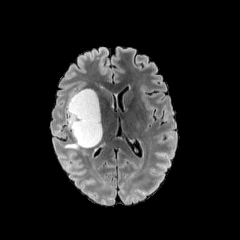
FLAIR MR.
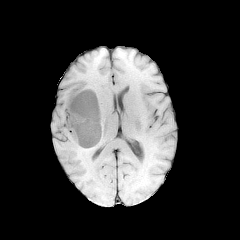
T1-weighted MRI.
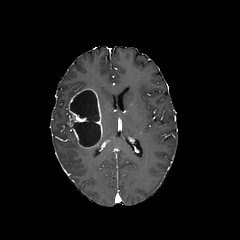
Post-contrast T1-weighted magnetic resonance.
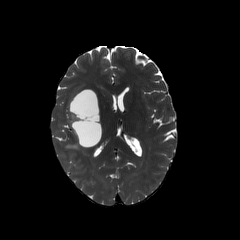
Same slice, T2-weighted MRI.
Axial slice
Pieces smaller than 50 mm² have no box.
Annotated regions:
• enhancing tumor: [68, 88, 102, 148]
• necrotic tumor core: [70, 90, 100, 146]
• peritumoral edema: [65, 131, 81, 149]